Slice 116 of 155. Brain. 240x240. Axial plane.
FLAIR MRI.
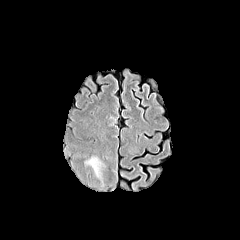
T1-weighted MR image.
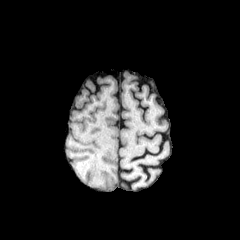
Post-contrast T1-weighted MRI.
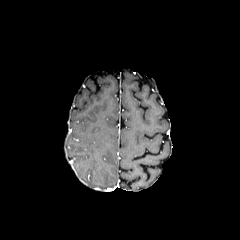
T2-weighted MR image.
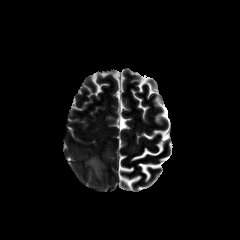
peritumoral edema at l=84, t=155, r=105, b=183